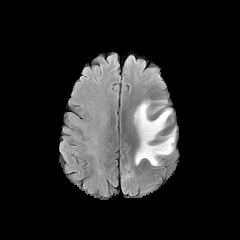
FLAIR MRI.
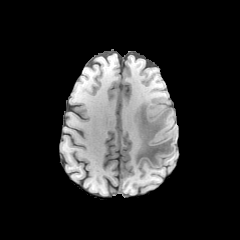
Same slice, T1-weighted magnetic resonance.
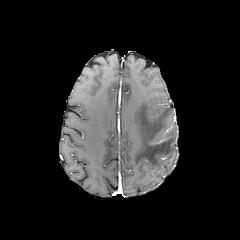
Post-contrast T1-weighted MR image of the same slice.
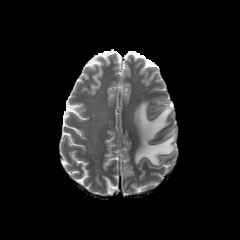
Same slice, T2-weighted magnetic resonance.
Head | Axial view
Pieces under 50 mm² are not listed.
The largest peritumoral edema region appears at 134:101:175:165.